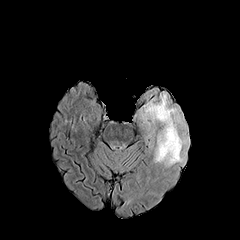
FLAIR MR.
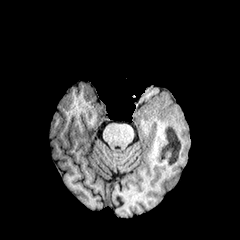
Same slice, T1-weighted MR.
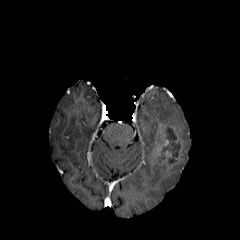
Same slice, post-contrast T1-weighted magnetic resonance.
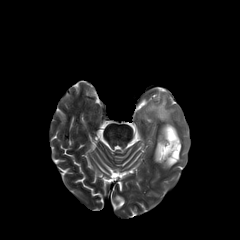
T2-weighted MRI.
Axial slice
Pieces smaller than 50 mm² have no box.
enhancing tumor: (left=170, top=126, right=179, bottom=144), (left=158, top=133, right=172, bottom=157)
peritumoral edema: (left=142, top=93, right=188, bottom=166)
necrotic tumor core: (left=161, top=127, right=180, bottom=162)